Axial slice; Brain; Slice index 90
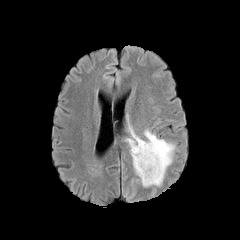
FLAIR MRI.
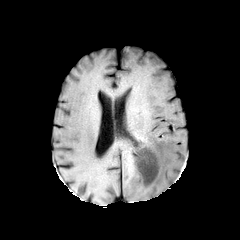
Same slice, T1-weighted magnetic resonance.
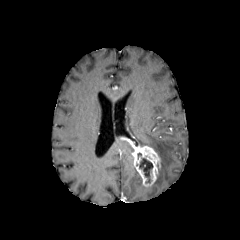
Post-contrast T1-weighted magnetic resonance.
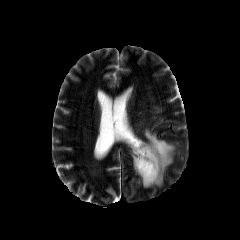
T2-weighted MR image.
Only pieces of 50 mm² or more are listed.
enhancing tumor = x1=121, y1=138, x2=160, y2=186
peritumoral edema = x1=126, y1=114, x2=175, y2=186
necrotic tumor core = x1=139, y1=158, x2=152, y2=182